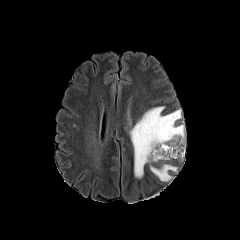
FLAIR MR.
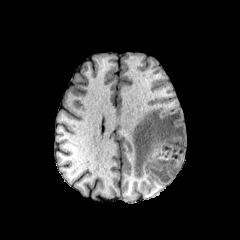
Same slice, T1-weighted MR image.
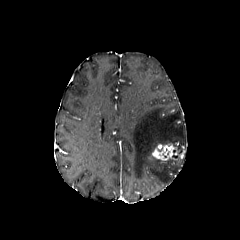
Post-contrast T1-weighted MR image.
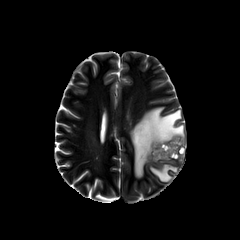
T2-weighted MR image of the same slice.
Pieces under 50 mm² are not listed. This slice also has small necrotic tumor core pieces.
{
  "peritumoral_edema": [
    "rect(130, 106, 185, 178)",
    "rect(150, 164, 177, 181)"
  ],
  "enhancing_tumor": [
    "rect(152, 142, 184, 160)"
  ]
}